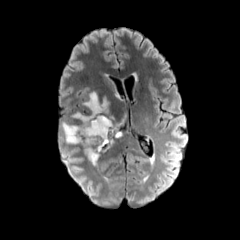
FLAIR MRI.
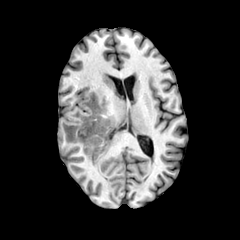
Same slice, T1-weighted magnetic resonance.
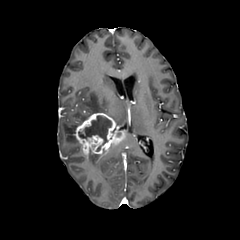
Post-contrast T1-weighted magnetic resonance of the same slice.
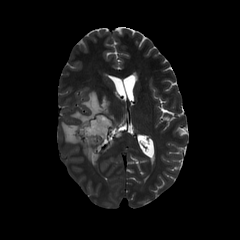
T2-weighted MR image of the same slice.
240x240 px. Head.
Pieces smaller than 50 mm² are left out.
The enhancing tumor lies within [74,113,125,157]. The 3 largest peritumoral edema regions are bounded by [72,92,108,123], [61,122,78,144], [88,155,99,165]. The largest necrotic tumor core region is bounded by [78,115,111,151].